FLAIR MR.
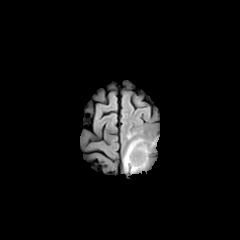
T1-weighted MR.
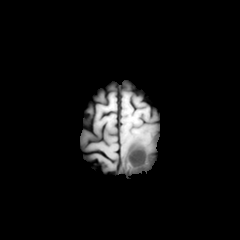
Post-contrast T1-weighted MR image.
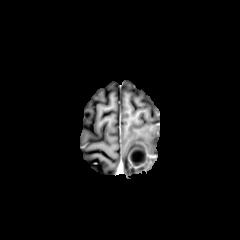
T2-weighted MRI.
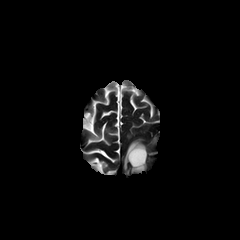
Head
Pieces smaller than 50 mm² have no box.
enhancing_tumor:
  - (x1=125, y1=140, x2=157, y2=167)
peritumoral_edema:
  - (x1=130, y1=164, x2=148, y2=173)
  - (x1=123, y1=155, x2=128, y2=171)
necrotic_tumor_core:
  - (x1=131, y1=150, x2=144, y2=164)